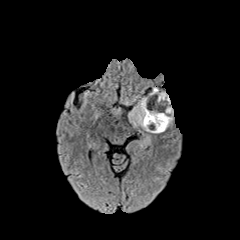
FLAIR MR image.
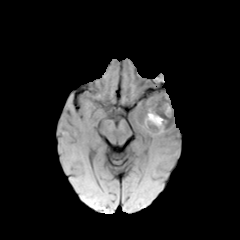
T1-weighted MR of the same slice.
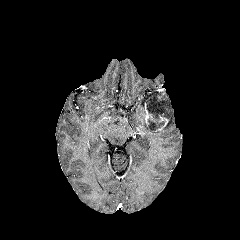
Post-contrast T1-weighted magnetic resonance.
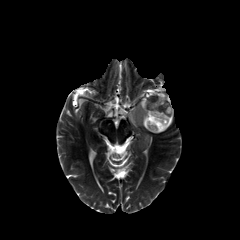
T2-weighted MR image.
Axial slice; 240x240 px; Head
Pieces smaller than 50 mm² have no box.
Segmented structures:
• enhancing tumor: 143,102,152,125; 155,115,168,131
• necrotic tumor core: 146,90,168,130
• peritumoral edema: 129,90,173,133